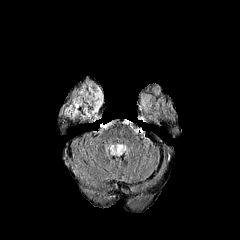
FLAIR MR.
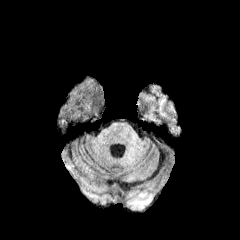
T1-weighted MR image of the same slice.
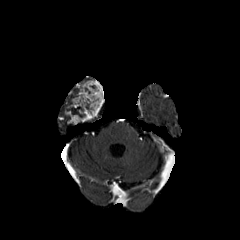
Post-contrast T1-weighted magnetic resonance.
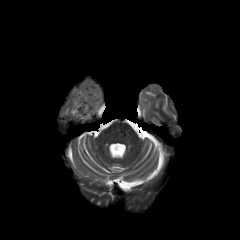
T2-weighted MRI.
Brain. Image size 240x240.
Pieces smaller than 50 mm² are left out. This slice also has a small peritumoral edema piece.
The enhancing tumor is located at [65, 80, 104, 122]. The largest necrotic tumor core region is located at [67, 106, 84, 117].